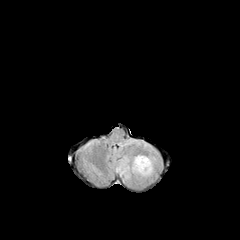
FLAIR magnetic resonance.
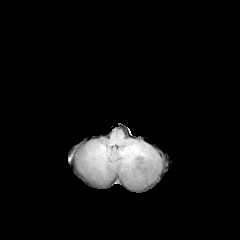
T1-weighted magnetic resonance.
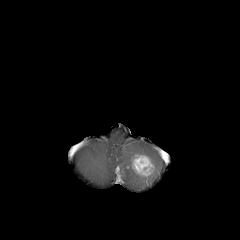
Same slice, post-contrast T1-weighted MR.
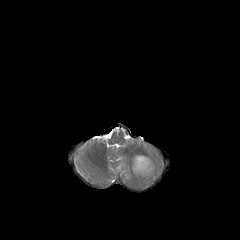
T2-weighted MR image.
Brain, 240x240 px
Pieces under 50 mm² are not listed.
The largest peritumoral edema region lies within 111,140,159,182. The largest enhancing tumor region is located at 132,155,154,176.